Axial plane
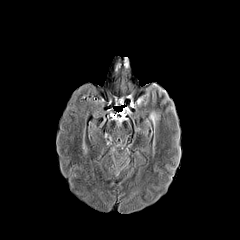
FLAIR magnetic resonance.
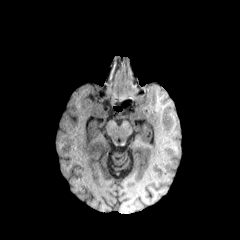
Same slice, T1-weighted MRI.
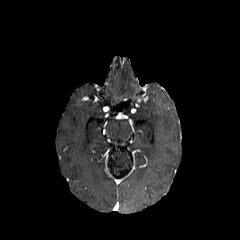
Post-contrast T1-weighted magnetic resonance.
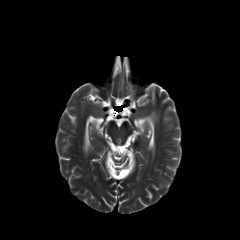
T2-weighted MR image.
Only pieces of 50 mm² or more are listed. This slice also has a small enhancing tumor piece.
The largest peritumoral edema region is at box(149, 112, 158, 125).